FLAIR MR image.
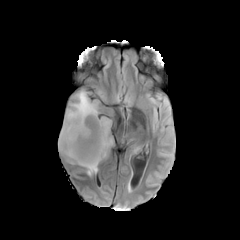
T1-weighted MRI.
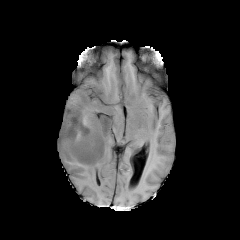
Post-contrast T1-weighted MR.
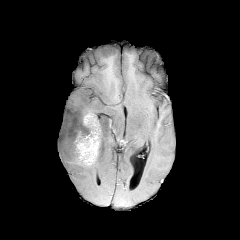
T2-weighted magnetic resonance.
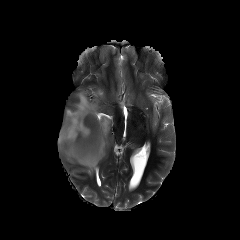
Image size 240x240
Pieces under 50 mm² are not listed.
The largest peritumoral edema region is at x1=58, y1=90, x2=112, y2=176. The enhancing tumor is bounded by x1=73, y1=114, x2=101, y2=166.